Head; 240x240 px
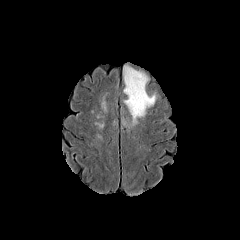
FLAIR MR image.
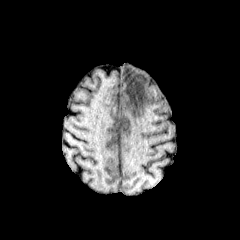
T1-weighted magnetic resonance.
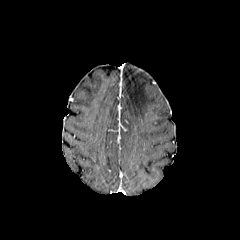
Post-contrast T1-weighted MR image.
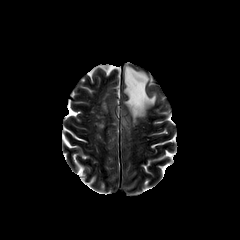
T2-weighted MR.
Annotated regions:
- peritumoral edema: 122 65 156 127